Head | Axial view | Image width 240 mm, 1.00 mm slice spacing | Slice index 75
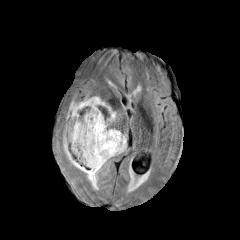
FLAIR magnetic resonance.
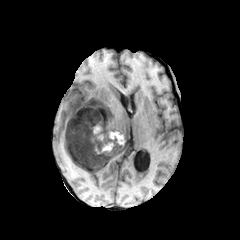
T1-weighted magnetic resonance.
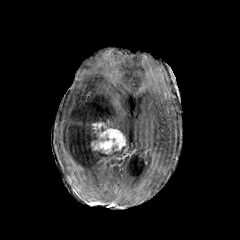
Same slice, post-contrast T1-weighted MR.
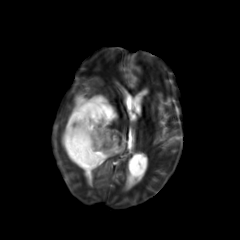
Same slice, T2-weighted MR image.
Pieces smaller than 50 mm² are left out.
peritumoral edema: region(62, 95, 116, 189); region(106, 149, 123, 160)
enhancing tumor: region(91, 122, 126, 154)
necrotic tumor core: region(75, 125, 98, 149); region(73, 153, 86, 167); region(97, 151, 107, 159)